Brain
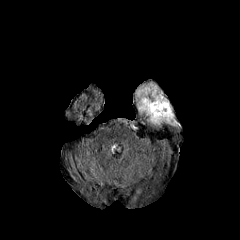
FLAIR MRI.
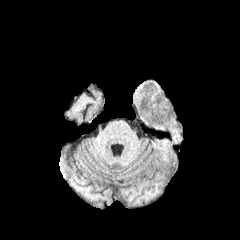
T1-weighted MR of the same slice.
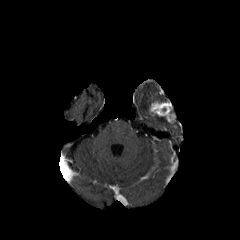
Post-contrast T1-weighted magnetic resonance of the same slice.
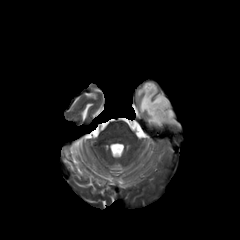
T2-weighted MR image.
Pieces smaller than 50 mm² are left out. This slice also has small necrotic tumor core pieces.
enhancing tumor: bounding box {"x1": 149, "y1": 101, "x2": 175, "y2": 123}
peritumoral edema: bounding box {"x1": 136, "y1": 82, "x2": 177, "y2": 125}